FLAIR MR image.
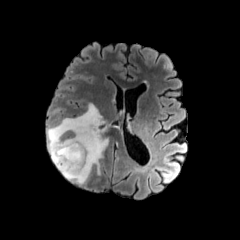
T1-weighted MRI.
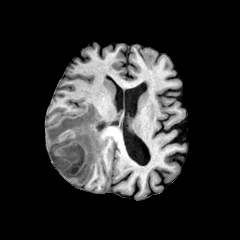
Post-contrast T1-weighted magnetic resonance.
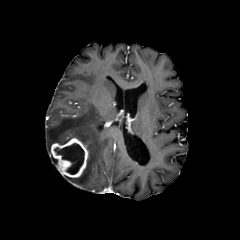
T2-weighted MR image.
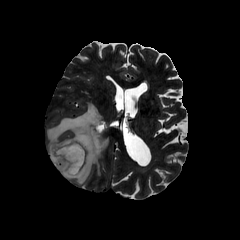
Head; 240x240
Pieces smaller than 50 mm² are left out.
<segmentation>
  <enhancing_tumor>region(50, 138, 88, 177)</enhancing_tumor>
  <peritumoral_edema>region(47, 103, 108, 184)</peritumoral_edema>
  <necrotic_tumor_core>region(54, 143, 84, 174)</necrotic_tumor_core>
</segmentation>